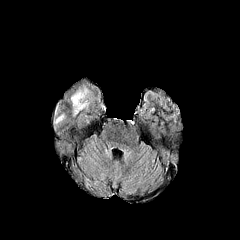
FLAIR MR.
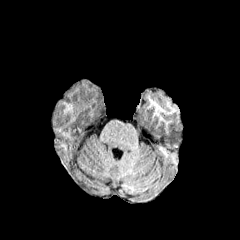
T1-weighted MR image.
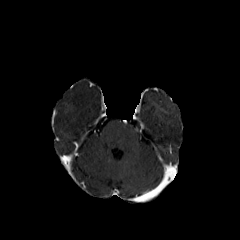
Same slice, post-contrast T1-weighted MR.
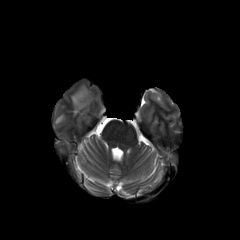
Same slice, T2-weighted magnetic resonance.
Axial plane, Image size 240x240
2 peritumoral edema regions are located at 71 87 91 115, 54 114 64 123.